240x240; Brain; Slice index 57
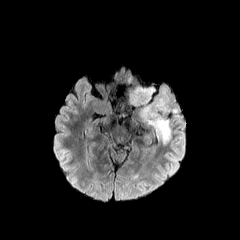
FLAIR magnetic resonance.
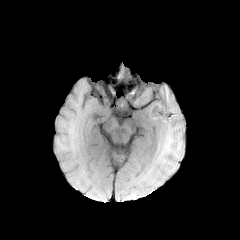
T1-weighted MR image of the same slice.
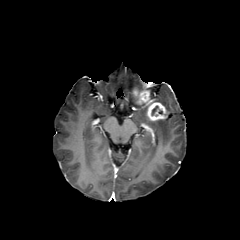
Post-contrast T1-weighted magnetic resonance of the same slice.
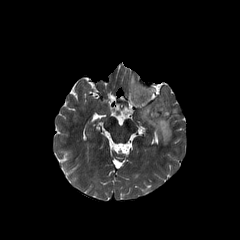
T2-weighted MRI.
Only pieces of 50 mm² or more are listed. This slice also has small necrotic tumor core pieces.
The largest peritumoral edema region is bounded by [x1=131, y1=85, x2=170, y2=144]. The enhancing tumor is at [x1=134, y1=89, x2=166, y2=121].